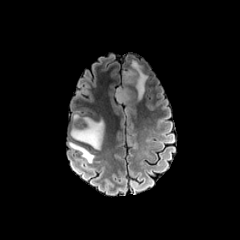
FLAIR magnetic resonance.
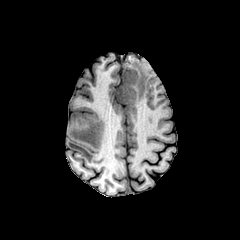
Same slice, T1-weighted magnetic resonance.
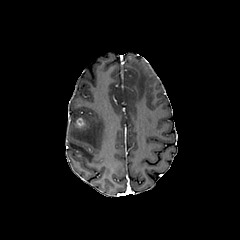
Same slice, post-contrast T1-weighted MRI.
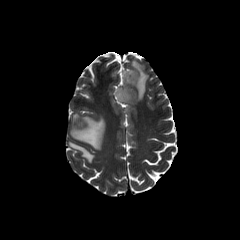
T2-weighted magnetic resonance.
enhancing tumor: l=76, t=118, r=85, b=127 | peritumoral edema: l=69, t=142, r=94, b=162; l=123, t=60, r=148, b=100; l=71, t=114, r=104, b=149; l=115, t=88, r=134, b=101